Image width 240 mm; 240x240
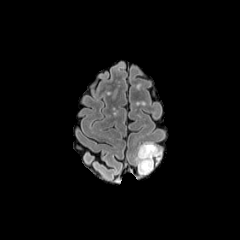
FLAIR magnetic resonance.
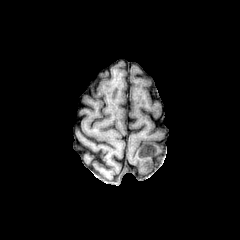
T1-weighted MR image.
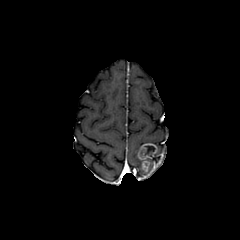
Same slice, post-contrast T1-weighted MRI.
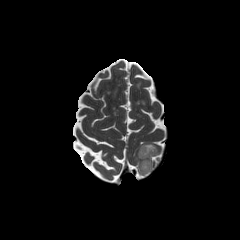
Same slice, T2-weighted magnetic resonance.
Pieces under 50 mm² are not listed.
necrotic tumor core: bbox(145, 146, 155, 156) | peritumoral edema: bbox(135, 155, 152, 174) | enhancing tumor: bbox(138, 143, 157, 171)